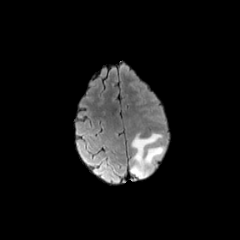
FLAIR MRI.
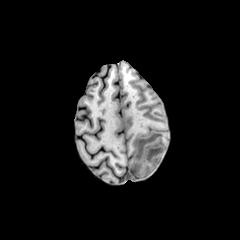
Same slice, T1-weighted MRI.
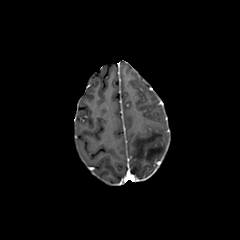
Same slice, post-contrast T1-weighted MRI.
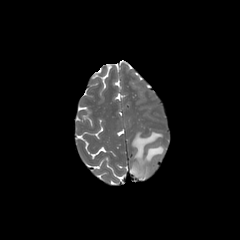
T2-weighted magnetic resonance.
Brain, Image size 240x240
The peritumoral edema is at 131, 132, 164, 178.